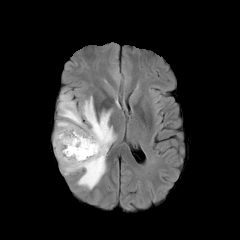
FLAIR MR.
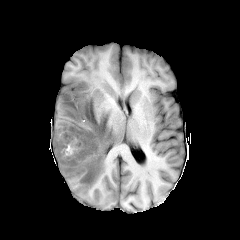
T1-weighted MR image.
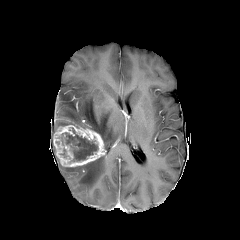
Post-contrast T1-weighted magnetic resonance of the same slice.
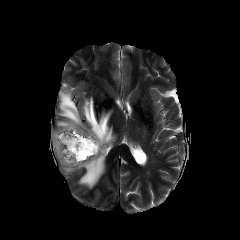
T2-weighted MR image.
Image size 240x240
necrotic_tumor_core:
  - <box>64,135,96,160</box>
enhancing_tumor:
  - <box>53,125,105,166</box>
peritumoral_edema:
  - <box>57,90,116,149</box>
  - <box>61,155,105,189</box>